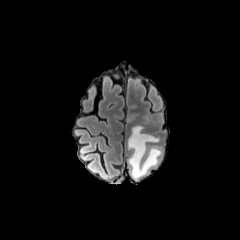
FLAIR MR.
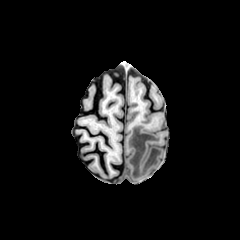
T1-weighted magnetic resonance.
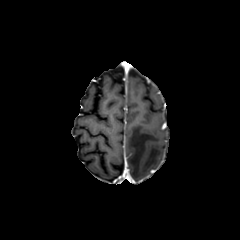
Post-contrast T1-weighted MR.
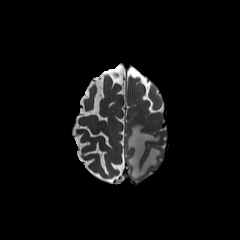
Same slice, T2-weighted MR image.
{
  "peritumoral_edema": [
    "(left=127, top=125, right=162, bottom=180)"
  ]
}